FLAIR MRI.
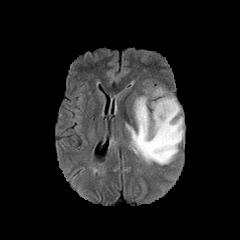
T1-weighted MR image.
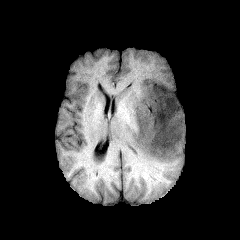
Post-contrast T1-weighted MR image.
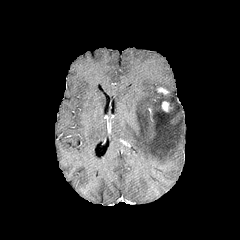
T2-weighted magnetic resonance.
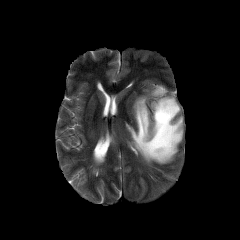
Brain, Image size 240x240
<segmentation>
  <peritumoral_edema>bbox(126, 86, 183, 164)</peritumoral_edema>
  <enhancing_tumor>bbox(161, 101, 172, 111); bbox(156, 87, 168, 94)</enhancing_tumor>
</segmentation>